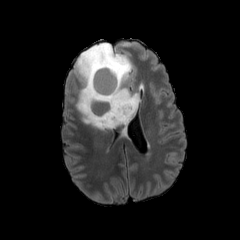
FLAIR MR image.
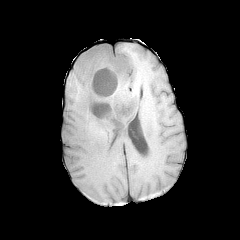
Same slice, T1-weighted MR.
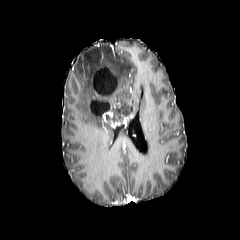
Post-contrast T1-weighted MRI.
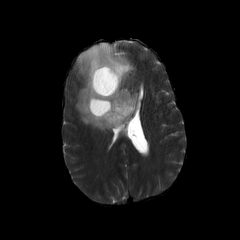
T2-weighted MR of the same slice.
Head; Axial view
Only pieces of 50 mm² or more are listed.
• necrotic tumor core: {"x1": 93, "y1": 67, "x2": 117, "y2": 94}, {"x1": 91, "y1": 101, "x2": 109, "y2": 115}
• peritumoral edema: {"x1": 74, "y1": 43, "x2": 138, "y2": 130}
• enhancing tumor: {"x1": 97, "y1": 59, "x2": 107, "y2": 68}, {"x1": 101, "y1": 111, "x2": 120, "y2": 128}, {"x1": 122, "y1": 110, "x2": 133, "y2": 128}